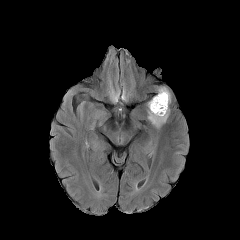
FLAIR MR.
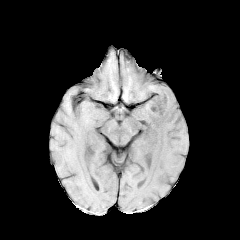
Same slice, T1-weighted MRI.
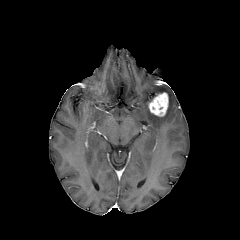
Post-contrast T1-weighted MRI.
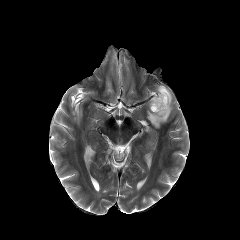
Same slice, T2-weighted magnetic resonance.
The peritumoral edema is bounded by box(147, 86, 171, 128). The enhancing tumor lies within box(149, 92, 168, 116).